FLAIR MR image.
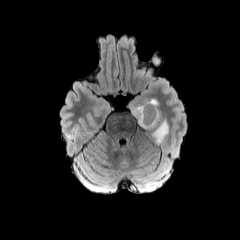
T1-weighted MR image.
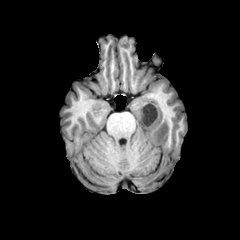
Post-contrast T1-weighted MR image.
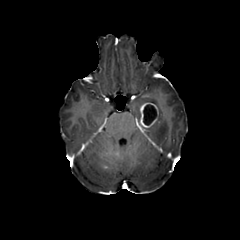
T2-weighted MRI.
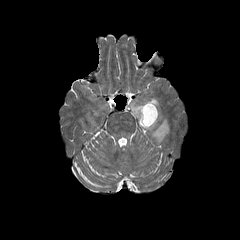
Axial plane; Head
enhancing tumor: bounding box left=139, top=102, right=158, bottom=128
peritumoral edema: bounding box left=132, top=98, right=158, bottom=123; left=145, top=109, right=168, bottom=144
necrotic tumor core: bounding box left=143, top=104, right=156, bottom=125